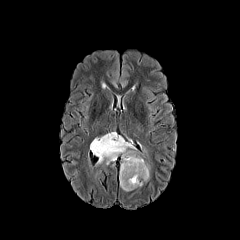
FLAIR magnetic resonance.
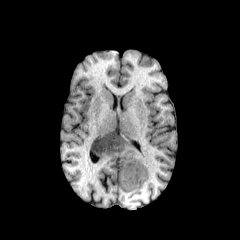
T1-weighted MR image.
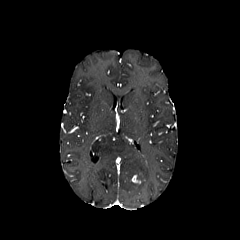
Same slice, post-contrast T1-weighted magnetic resonance.
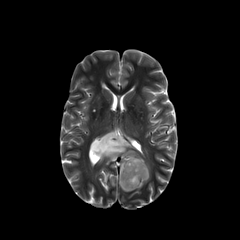
T2-weighted MRI of the same slice.
Brain | Axial view
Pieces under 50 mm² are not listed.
{
  "peritumoral_edema": [
    "rect(90, 132, 149, 191)"
  ],
  "enhancing_tumor": [
    "rect(130, 174, 140, 183)"
  ]
}